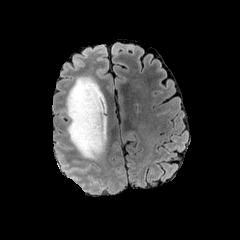
FLAIR MRI.
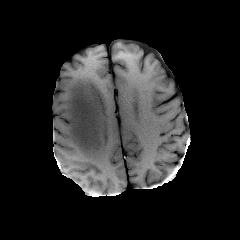
T1-weighted MR.
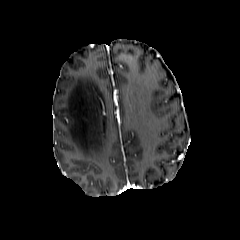
Post-contrast T1-weighted magnetic resonance of the same slice.
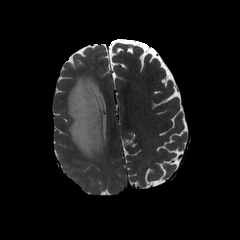
T2-weighted MRI.
Brain
- peritumoral edema: rect(66, 76, 106, 159)